FLAIR MRI.
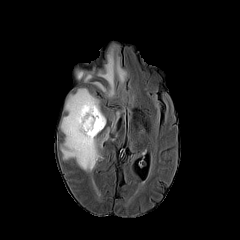
T1-weighted MRI.
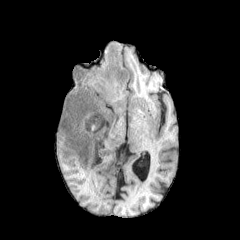
Post-contrast T1-weighted MR image.
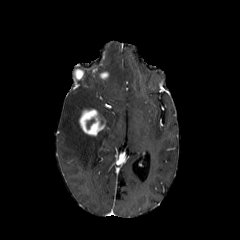
T2-weighted magnetic resonance.
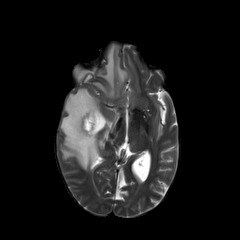
Head
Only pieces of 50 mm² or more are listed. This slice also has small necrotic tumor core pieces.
peritumoral edema at [83, 72, 93, 82], [111, 113, 118, 130], [93, 45, 127, 97], [60, 88, 109, 171]
enhancing tumor at [100, 72, 108, 79], [79, 109, 105, 135], [74, 69, 84, 79]